Slice 100/155 | Head | 240x240 px
FLAIR MRI.
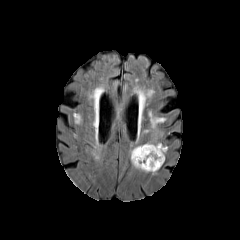
T1-weighted MRI.
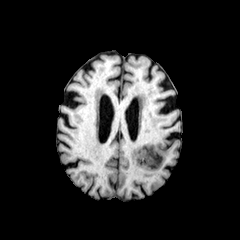
Post-contrast T1-weighted MRI.
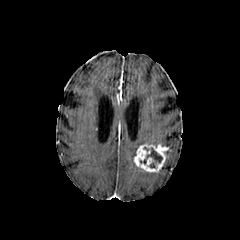
T2-weighted magnetic resonance.
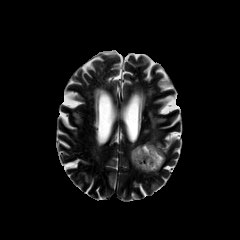
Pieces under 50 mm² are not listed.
The enhancing tumor is at l=133, t=144, r=167, b=172. The 3 largest peritumoral edema regions are located at l=146, t=133, r=161, b=145; l=149, t=112, r=165, b=130; l=130, t=145, r=149, b=172. The largest necrotic tumor core region is bounded by l=147, t=148, r=162, b=163.